Axial view
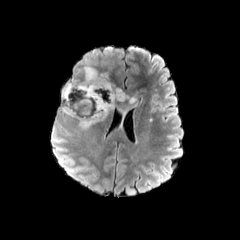
FLAIR MR.
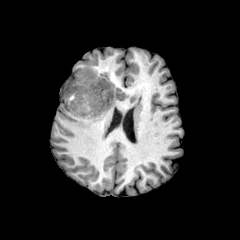
Same slice, T1-weighted MRI.
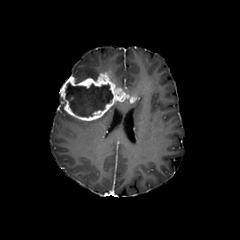
Post-contrast T1-weighted MRI.
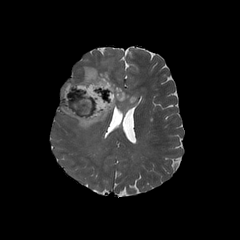
T2-weighted magnetic resonance.
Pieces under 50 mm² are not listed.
Findings:
* peritumoral edema: (left=61, top=105, right=113, bottom=130), (left=73, top=65, right=99, bottom=78)
* enhancing tumor: (left=60, top=72, right=134, bottom=121)
* necrotic tumor core: (left=65, top=83, right=113, bottom=117)